FLAIR magnetic resonance.
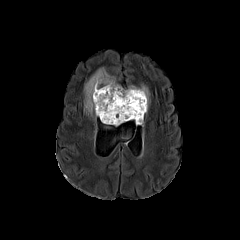
T1-weighted MRI.
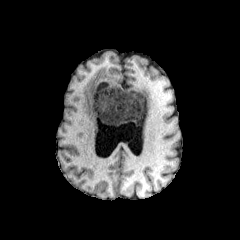
Post-contrast T1-weighted MR.
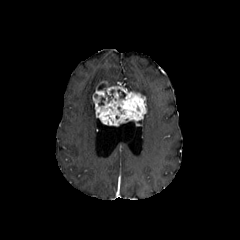
T2-weighted MRI.
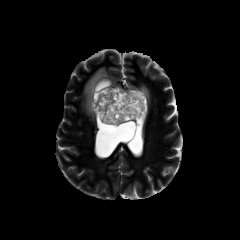
Head
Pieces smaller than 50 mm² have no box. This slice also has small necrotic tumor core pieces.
{"enhancing_tumor": [{"x1": 92, "y1": 81, "x2": 146, "y2": 125}], "peritumoral_edema": [{"x1": 128, "y1": 85, "x2": 149, "y2": 111}, {"x1": 84, "y1": 67, "x2": 117, "y2": 116}]}